Image size 240x240 | Head
FLAIR MR image.
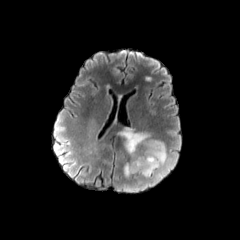
T1-weighted MR image.
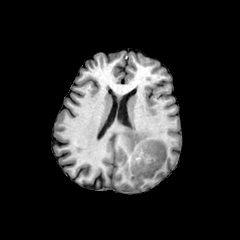
Post-contrast T1-weighted magnetic resonance.
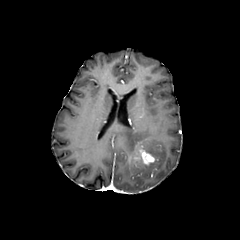
T2-weighted magnetic resonance.
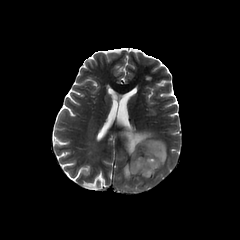
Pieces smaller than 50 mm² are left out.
<segmentation>
  <peritumoral_edema>{"x1": 117, "y1": 127, "x2": 166, "y2": 178}</peritumoral_edema>
  <enhancing_tumor>{"x1": 141, "y1": 151, "x2": 154, "y2": 164}</enhancing_tumor>
</segmentation>